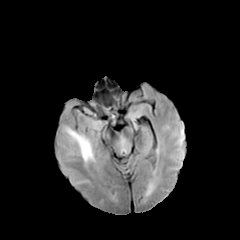
FLAIR MRI.
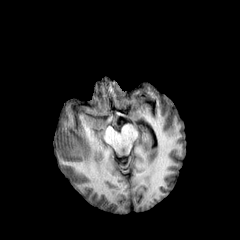
T1-weighted MRI.
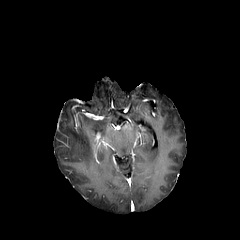
Post-contrast T1-weighted magnetic resonance of the same slice.
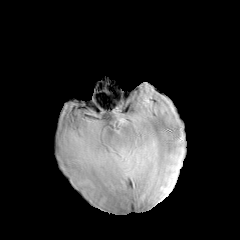
T2-weighted magnetic resonance of the same slice.
240x240 px; Axial view
peritumoral edema: l=67, t=129, r=93, b=161